Image covers 240 mm x 240 mm. Slice 122/155. Brain.
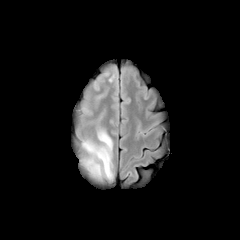
FLAIR MR.
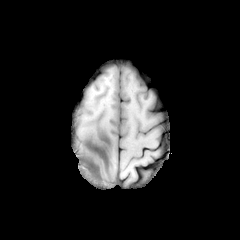
T1-weighted magnetic resonance.
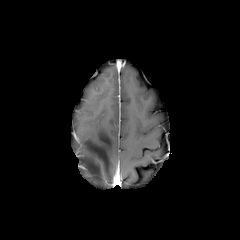
Post-contrast T1-weighted MRI of the same slice.
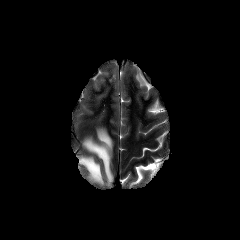
T2-weighted magnetic resonance.
The peritumoral edema is bounded by 80:129:112:180.